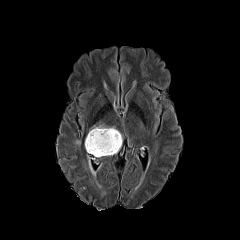
FLAIR MR.
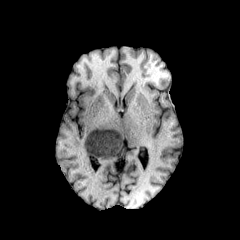
Same slice, T1-weighted MR image.
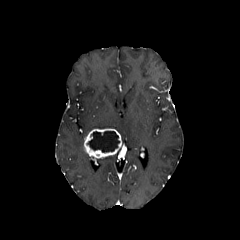
Post-contrast T1-weighted magnetic resonance.
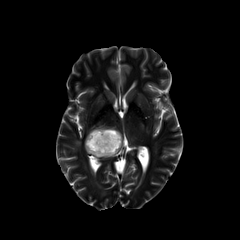
T2-weighted MR image.
240x240 | Axial slice
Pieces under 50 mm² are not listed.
{"peritumoral_edema": ["bbox(90, 125, 114, 130)"], "necrotic_tumor_core": ["bbox(87, 131, 119, 152)"], "enhancing_tumor": ["bbox(84, 128, 121, 158)"]}